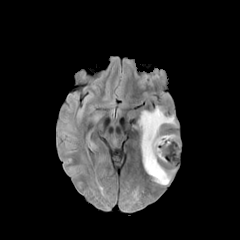
FLAIR MRI.
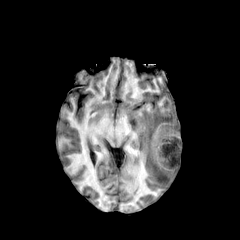
T1-weighted MR of the same slice.
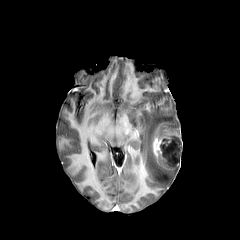
Post-contrast T1-weighted MR image.
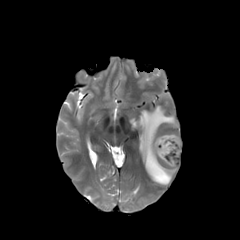
T2-weighted MR image.
Findings:
- peritumoral edema: <bbox>138, 106, 174, 186</bbox>
- necrotic tumor core: <bbox>160, 136, 181, 166</bbox>
- enhancing tumor: <bbox>152, 132, 180, 169</bbox>